Slice 66 of 155, Head
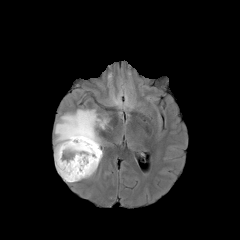
FLAIR MRI.
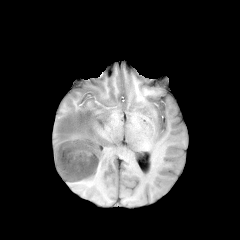
T1-weighted MRI.
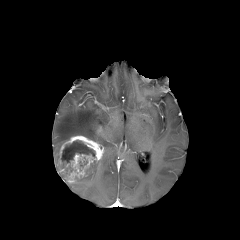
Post-contrast T1-weighted magnetic resonance.
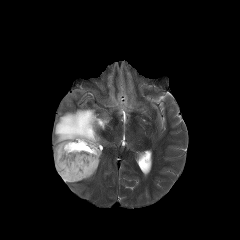
Same slice, T2-weighted MR.
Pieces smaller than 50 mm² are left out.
{
  "necrotic_tumor_core": [
    {"x1": 61, "y1": 140, "x2": 95, "y2": 162}
  ],
  "peritumoral_edema": [
    {"x1": 77, "y1": 160, "x2": 100, "y2": 181},
    {"x1": 54, "y1": 109, "x2": 108, "y2": 162}
  ],
  "enhancing_tumor": [
    {"x1": 55, "y1": 135, "x2": 103, "y2": 183}
  ]
}